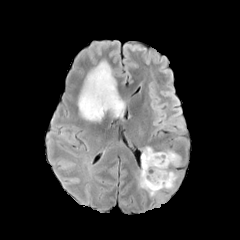
FLAIR MR.
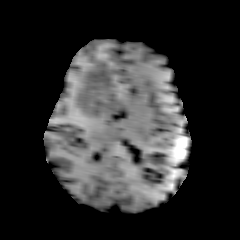
T1-weighted MR.
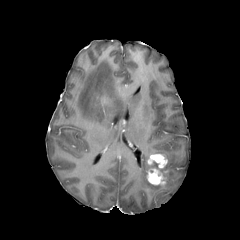
Post-contrast T1-weighted MR image.
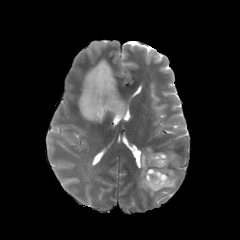
T2-weighted MR of the same slice.
Axial view
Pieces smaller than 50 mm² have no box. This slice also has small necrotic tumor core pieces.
peritumoral edema at [139,146,183,196], [78,61,124,121]
enhancing tumor at [147,153,167,168], [147,167,166,184]